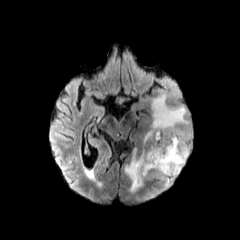
FLAIR MR image.
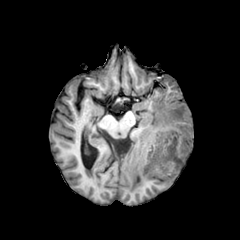
T1-weighted MR image.
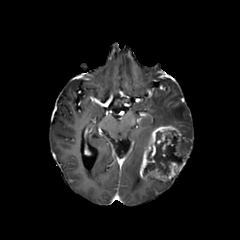
Post-contrast T1-weighted magnetic resonance.
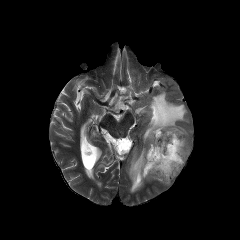
Same slice, T2-weighted MR image.
Brain.
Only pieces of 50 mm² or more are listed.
necrotic_tumor_core:
  - <bbox>143, 130, 183, 176</bbox>
peritumoral_edema:
  - <bbox>162, 176, 176, 189</bbox>
  - <bbox>125, 94, 192, 192</bbox>
enhancing_tumor:
  - <bbox>139, 125, 188, 181</bbox>